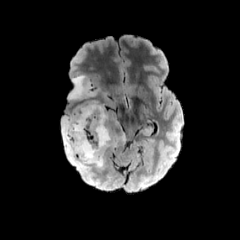
FLAIR MRI.
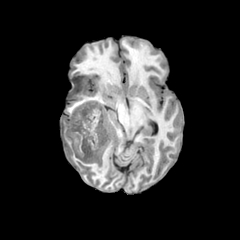
T1-weighted magnetic resonance.
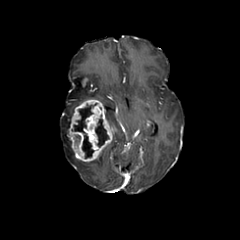
Post-contrast T1-weighted magnetic resonance.
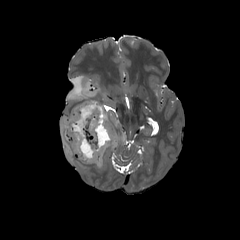
T2-weighted magnetic resonance.
Brain
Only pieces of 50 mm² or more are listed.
peritumoral edema at x1=68, y1=75, x2=96, y2=99; x1=62, y1=115, x2=104, y2=171
enhancing tumor at x1=67, y1=99, x2=115, y2=161
necrotic tumor core at x1=95, y1=115, x2=108, y2=146; x1=72, y1=104, x2=96, y2=157